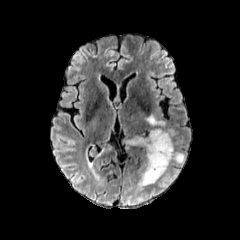
FLAIR MR.
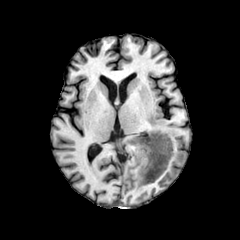
Same slice, T1-weighted MR image.
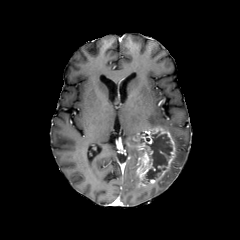
Post-contrast T1-weighted MR.
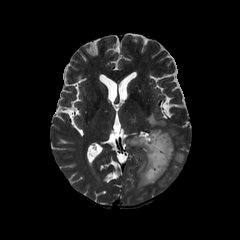
T2-weighted magnetic resonance.
Axial view.
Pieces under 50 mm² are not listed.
• peritumoral edema: box=[174, 151, 185, 165]; box=[146, 114, 165, 126]
• necrotic tumor core: box=[145, 132, 172, 181]
• enhancing tumor: box=[132, 126, 175, 187]